Axial view
FLAIR MR.
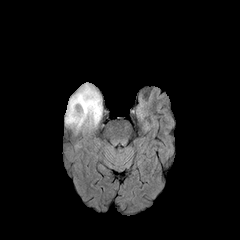
T1-weighted magnetic resonance.
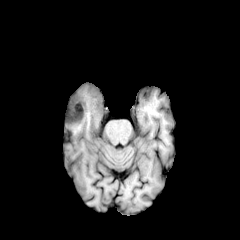
Post-contrast T1-weighted MR.
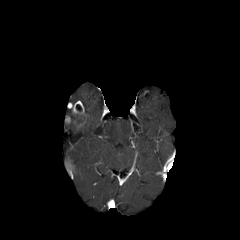
T2-weighted MR.
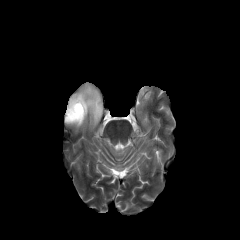
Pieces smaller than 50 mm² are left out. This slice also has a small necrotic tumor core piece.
The enhancing tumor is located at 65, 100, 86, 126. The largest peritumoral edema region appears at 65, 83, 102, 131.